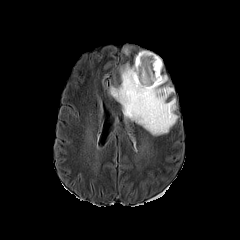
FLAIR MR.
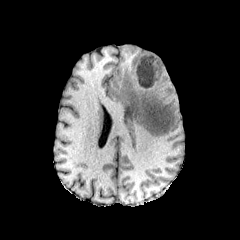
T1-weighted MR image of the same slice.
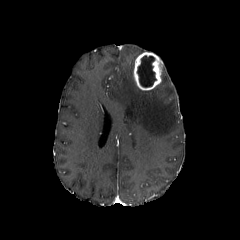
Same slice, post-contrast T1-weighted MRI.
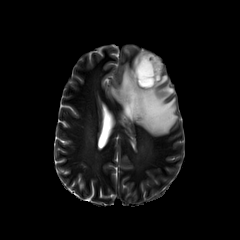
Same slice, T2-weighted MR image.
Brain, 240x240
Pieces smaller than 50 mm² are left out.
Annotated regions:
- peritumoral edema: x1=109, y1=63, x2=177, y2=135
- necrotic tumor core: x1=137, y1=55, x2=156, y2=87
- enhancing tumor: x1=133, y1=52, x2=163, y2=90